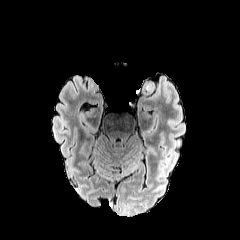
FLAIR magnetic resonance.
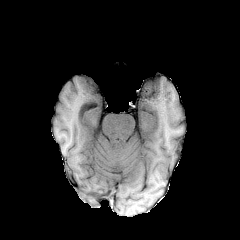
T1-weighted MRI.
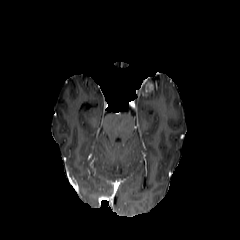
Post-contrast T1-weighted MR image.
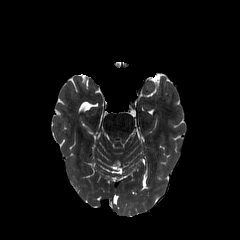
T2-weighted magnetic resonance.
Brain; 240x240 px
enhancing_tumor:
  - 142, 82, 153, 95